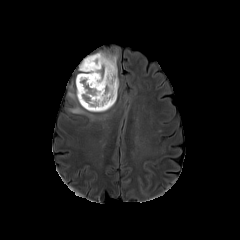
FLAIR MRI.
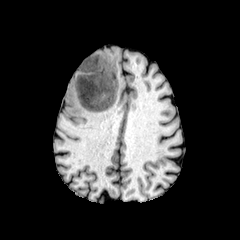
T1-weighted MR image of the same slice.
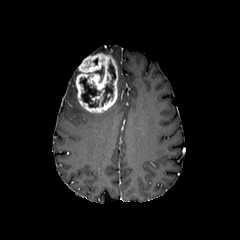
Post-contrast T1-weighted MR.
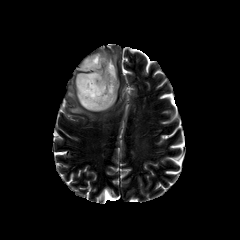
Same slice, T2-weighted MR.
240x240 px | Head | Axial plane
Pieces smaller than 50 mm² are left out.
enhancing tumor: [x1=76, y1=53, x2=118, y2=112] | peritumoral edema: [x1=94, y1=66, x2=104, y2=79], [x1=93, y1=51, x2=118, y2=63], [x1=68, y1=84, x2=96, y2=120] | necrotic tumor core: [x1=101, y1=60, x2=115, y2=106], [x1=79, y1=77, x2=100, y2=107]